240x240 | Slice 23/155 | Brain
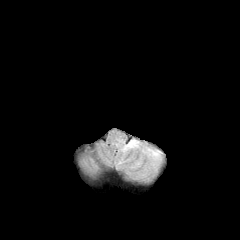
FLAIR MRI.
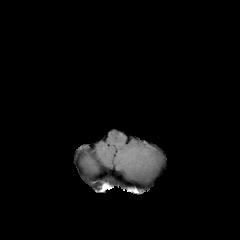
T1-weighted MR image.
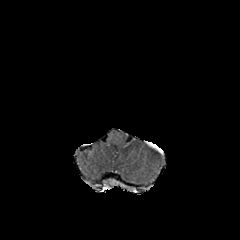
Post-contrast T1-weighted MR.
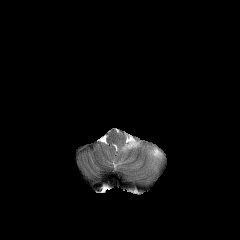
T2-weighted MR image.
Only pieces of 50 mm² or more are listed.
peritumoral edema: 114 139 162 178